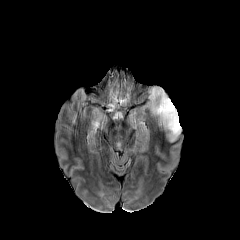
FLAIR MRI.
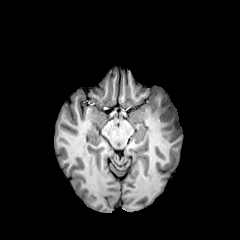
Same slice, T1-weighted magnetic resonance.
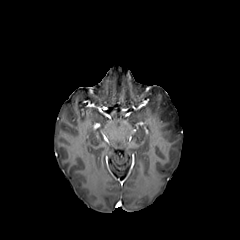
Post-contrast T1-weighted MR.
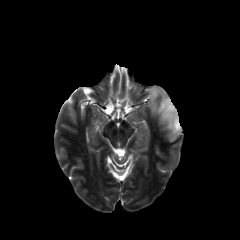
Same slice, T2-weighted MR image.
240x240 px | Axial slice
The peritumoral edema is at (150,87,181,141).